Axial view
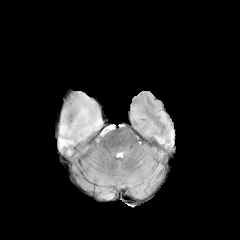
FLAIR MR.
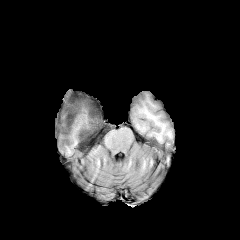
T1-weighted MR.
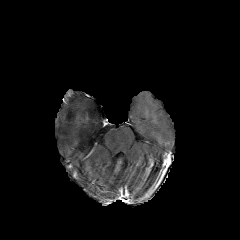
Post-contrast T1-weighted magnetic resonance.
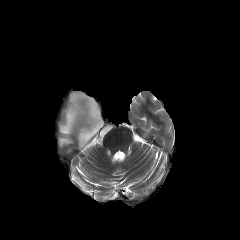
Same slice, T2-weighted MR image.
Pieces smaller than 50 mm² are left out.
peritumoral edema — 100 125 113 136, 58 92 103 155